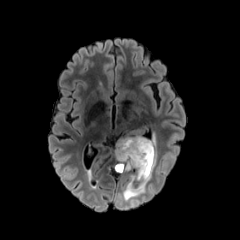
FLAIR magnetic resonance.
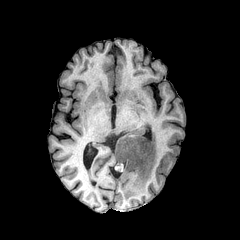
Same slice, T1-weighted MR.
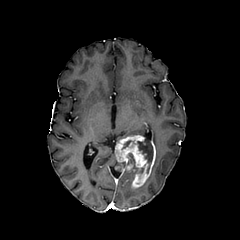
Post-contrast T1-weighted magnetic resonance.
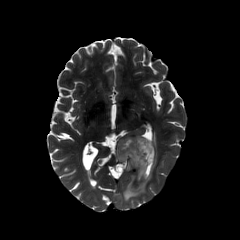
T2-weighted MRI.
Head
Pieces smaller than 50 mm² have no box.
enhancing tumor: [x1=115, y1=135, x2=155, y2=189] | necrotic tumor core: [x1=137, y1=138, x2=153, y2=164] | peritumoral edema: [x1=147, y1=134, x2=157, y2=181], [x1=123, y1=175, x2=146, y2=200]